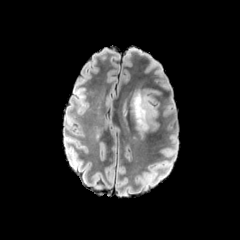
FLAIR magnetic resonance.
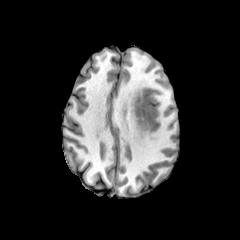
T1-weighted MR of the same slice.
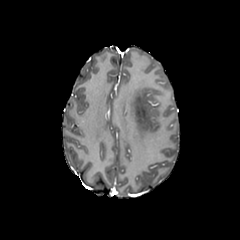
Same slice, post-contrast T1-weighted MRI.
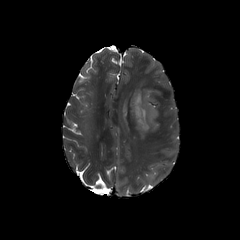
T2-weighted magnetic resonance.
240x240 px.
peritumoral edema — x1=130 y1=83 x2=158 y2=137